Brain; 240x240 px; Axial view
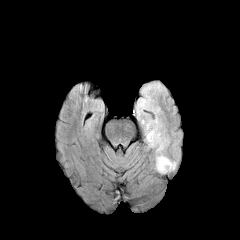
FLAIR MR.
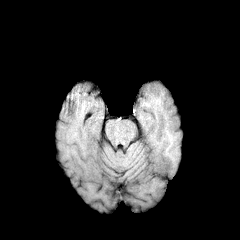
T1-weighted MR image.
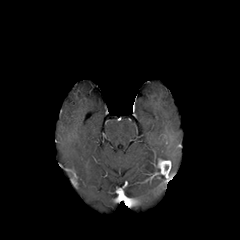
Post-contrast T1-weighted MR image.
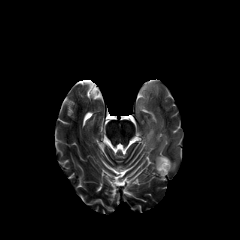
T2-weighted MRI.
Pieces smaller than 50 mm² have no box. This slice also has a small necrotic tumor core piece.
peritumoral edema = box(136, 82, 169, 173)
enhancing tumor = box(157, 159, 171, 174)